FLAIR MR image.
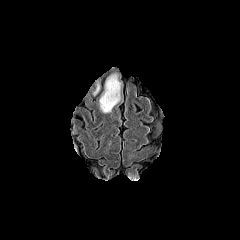
T1-weighted MR image.
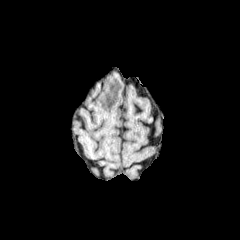
Post-contrast T1-weighted MR image.
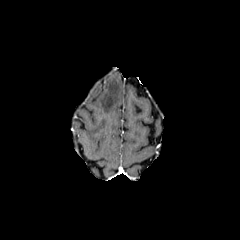
T2-weighted MRI.
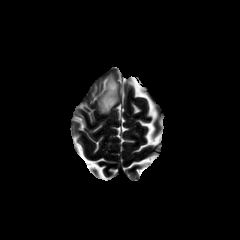
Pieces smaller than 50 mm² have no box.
peritumoral_edema:
  - bbox=[99, 75, 121, 113]